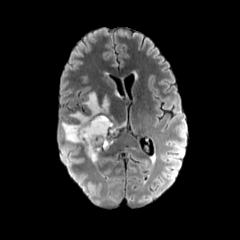
FLAIR MRI.
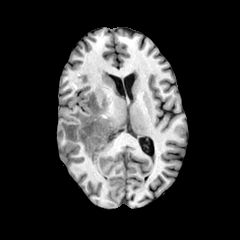
T1-weighted MRI of the same slice.
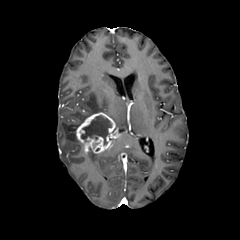
Post-contrast T1-weighted magnetic resonance of the same slice.
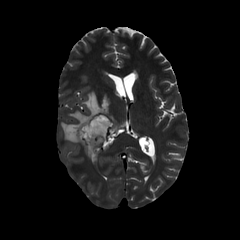
Same slice, T2-weighted MR.
Head. 240x240.
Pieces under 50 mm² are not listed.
necrotic tumor core: [81, 115, 111, 145]
enhancing tumor: [75, 112, 120, 154]
peritumoral edema: [61, 92, 109, 143], [87, 153, 98, 162]